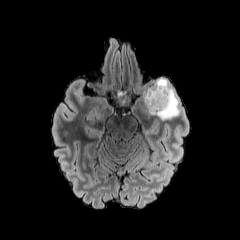
FLAIR MR.
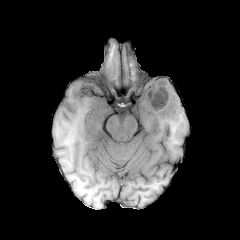
Same slice, T1-weighted MR.
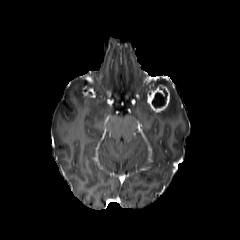
Post-contrast T1-weighted magnetic resonance of the same slice.
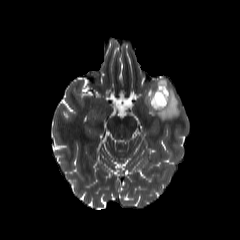
Same slice, T2-weighted MR image.
240x240 px | Brain
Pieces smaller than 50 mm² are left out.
peritumoral_edema:
  - [x1=144, y1=78, x2=180, y2=120]
enhancing_tumor:
  - [x1=147, y1=85, x2=170, y2=112]
necrotic_tumor_core:
  - [x1=152, y1=88, x2=167, y2=107]